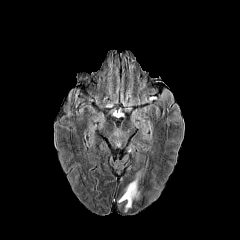
FLAIR MR.
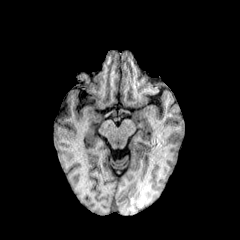
T1-weighted MR of the same slice.
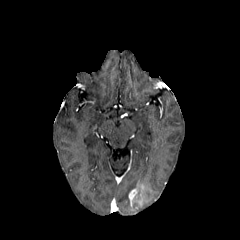
Post-contrast T1-weighted magnetic resonance.
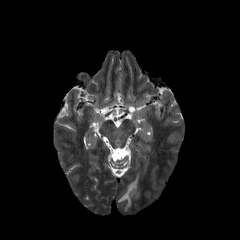
T2-weighted MR image of the same slice.
Image size 240x240
enhancing tumor: 128 188 137 204
peritumoral edema: 117 170 141 212